Head
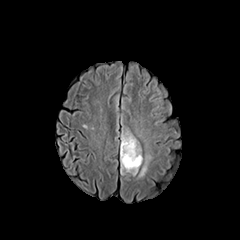
FLAIR MR.
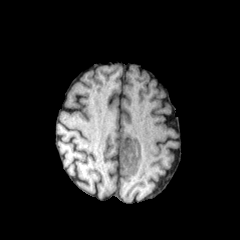
Same slice, T1-weighted MR image.
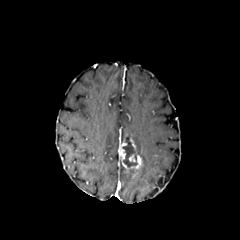
Post-contrast T1-weighted magnetic resonance.
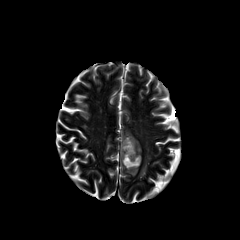
T2-weighted magnetic resonance.
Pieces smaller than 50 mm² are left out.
{
  "necrotic_tumor_core": [
    "x1=122 y1=137 x2=137 y2=166"
  ],
  "peritumoral_edema": [
    "x1=121 y1=128 x2=141 y2=158",
    "x1=139 y1=154 x2=151 y2=177"
  ],
  "enhancing_tumor": [
    "x1=119 y1=134 x2=141 y2=176"
  ]
}